Slice 77/155
FLAIR MRI.
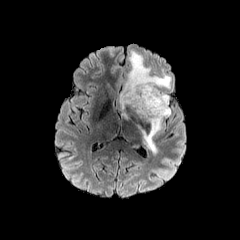
T1-weighted MR.
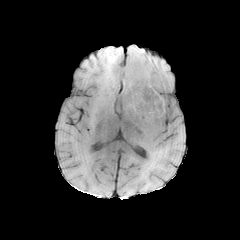
Post-contrast T1-weighted MRI.
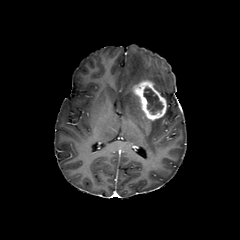
T2-weighted MR image.
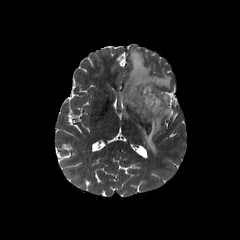
peritumoral edema: bounding box [x1=120, y1=50, x2=171, y2=152]
enhancing tumor: bounding box [x1=132, y1=80, x2=166, y2=120]
necrotic tumor core: bounding box [x1=144, y1=88, x2=163, y2=114]